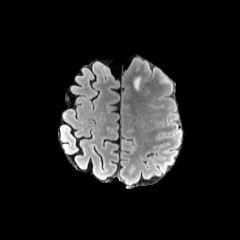
FLAIR MR.
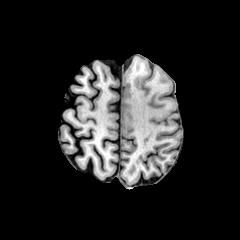
T1-weighted MRI.
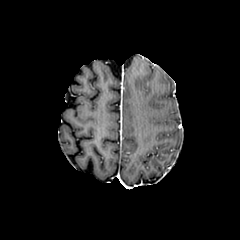
Post-contrast T1-weighted MR image.
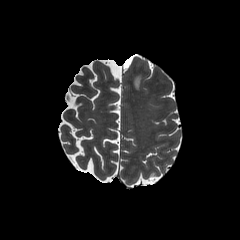
T2-weighted MR.
* peritumoral edema: [134, 76, 141, 90]